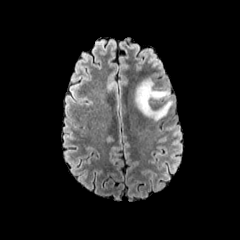
FLAIR MRI.
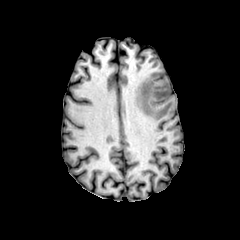
T1-weighted MR.
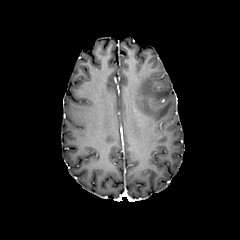
Post-contrast T1-weighted MR of the same slice.
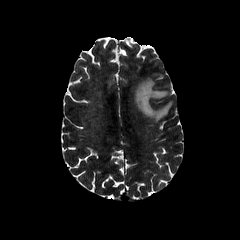
Same slice, T2-weighted MR.
<segmentation>
  <peritumoral_edema>[135,78,173,121]</peritumoral_edema>
</segmentation>